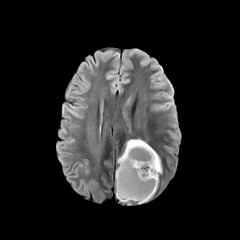
FLAIR magnetic resonance.
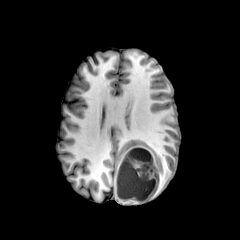
T1-weighted magnetic resonance of the same slice.
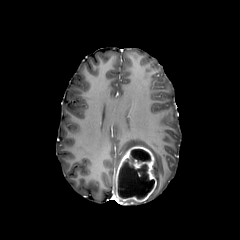
Post-contrast T1-weighted magnetic resonance.
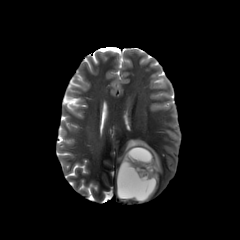
Same slice, T2-weighted MRI.
Brain
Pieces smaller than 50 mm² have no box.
enhancing tumor: bbox(116, 146, 156, 201)
peritumoral edema: bbox(118, 139, 162, 198)
necrotic tumor core: bbox(117, 149, 154, 199)